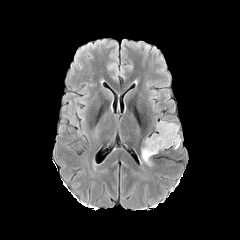
FLAIR MR.
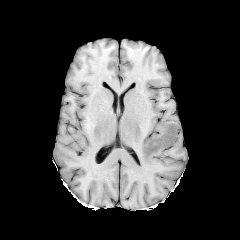
T1-weighted magnetic resonance of the same slice.
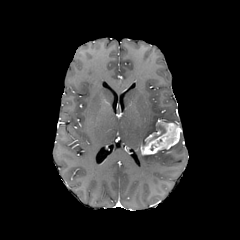
Same slice, post-contrast T1-weighted magnetic resonance.
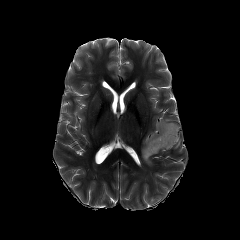
Same slice, T2-weighted magnetic resonance.
Head
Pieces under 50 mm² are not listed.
peritumoral edema — (left=142, top=155, right=151, bottom=165)
enhancing tumor — (left=141, top=120, right=181, bottom=154)
necrotic tumor core — (left=152, top=124, right=165, bottom=138)